FLAIR magnetic resonance.
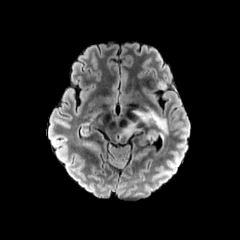
T1-weighted MRI.
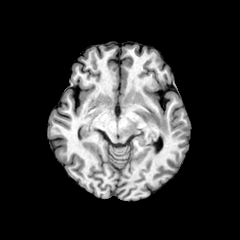
Post-contrast T1-weighted MR image.
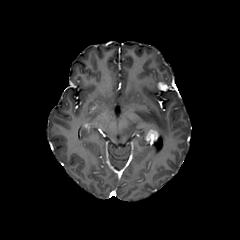
T2-weighted MRI.
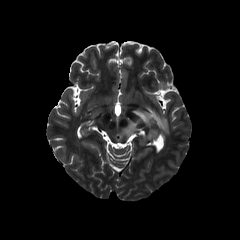
Segmented structures:
- peritumoral edema: rect(120, 109, 168, 137)
- enhancing tumor: rect(146, 130, 158, 142)